FLAIR magnetic resonance.
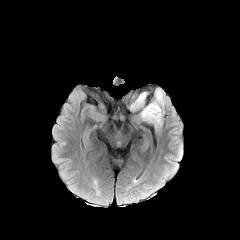
T1-weighted MR image.
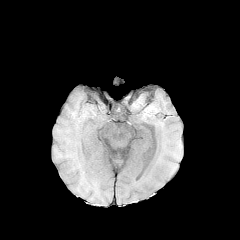
Post-contrast T1-weighted magnetic resonance.
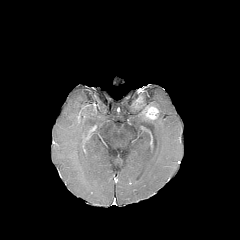
T2-weighted MR image.
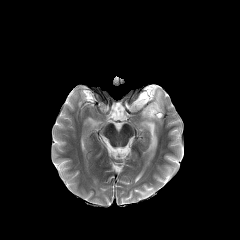
Head
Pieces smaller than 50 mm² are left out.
2 enhancing tumor regions are bounded by <box>135,94,144,107</box>, <box>142,105,158,119</box>. The 2 largest peritumoral edema regions are bounded by <box>140,91,147,103</box>, <box>141,88,165,127</box>.